Head.
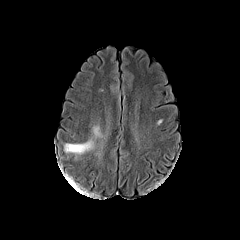
FLAIR MRI.
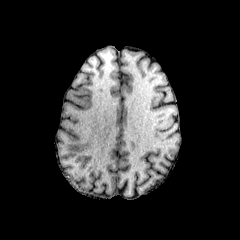
Same slice, T1-weighted magnetic resonance.
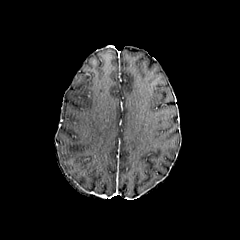
Post-contrast T1-weighted MR image.
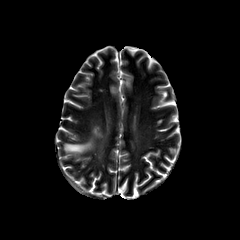
T2-weighted MR image of the same slice.
2 peritumoral edema regions are bounded by (93, 126, 102, 137), (64, 139, 94, 154).